Head, Axial slice, 240x240 px
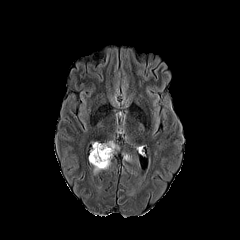
FLAIR MR image.
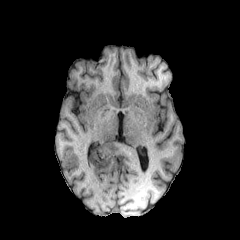
T1-weighted MR of the same slice.
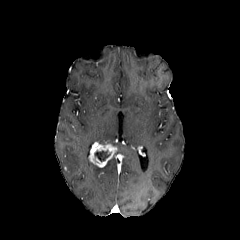
Post-contrast T1-weighted MRI.
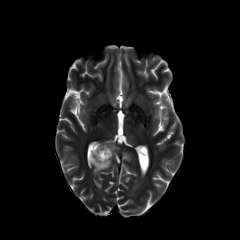
Same slice, T2-weighted magnetic resonance.
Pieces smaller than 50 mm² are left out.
enhancing tumor = x1=89 y1=142 x2=117 y2=167
necrotic tumor core = x1=95 y1=151 x2=110 y2=161
peritumoral edema = x1=91 y1=160 x2=110 y2=174